Slice 58/155 | Image covers 240 mm x 240 mm | Head | 240x240 px
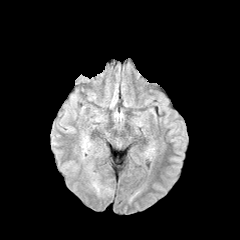
FLAIR magnetic resonance.
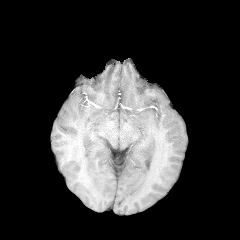
T1-weighted MR of the same slice.
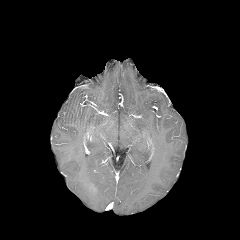
Post-contrast T1-weighted magnetic resonance.
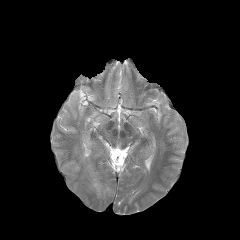
Same slice, T2-weighted MR image.
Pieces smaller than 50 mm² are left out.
The 2 largest peritumoral edema regions are bounded by 81 136 91 153, 91 180 101 195.